FLAIR magnetic resonance.
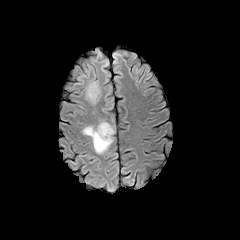
T1-weighted MR image.
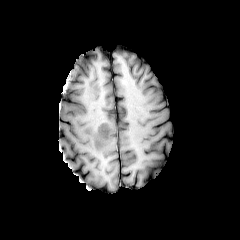
Post-contrast T1-weighted magnetic resonance.
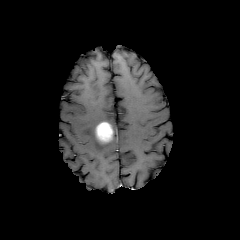
T2-weighted MR image.
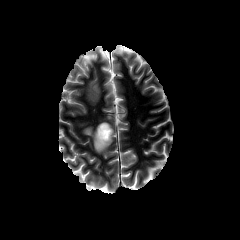
Head
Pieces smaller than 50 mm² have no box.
The 2 largest peritumoral edema regions appear at box=[82, 124, 115, 154]; box=[84, 81, 99, 103]. The enhancing tumor appears at box=[95, 122, 113, 143].